Axial view; Brain
FLAIR MR.
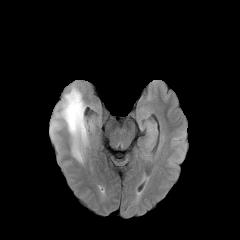
T1-weighted MRI.
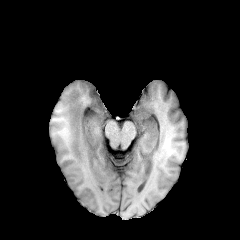
Post-contrast T1-weighted magnetic resonance.
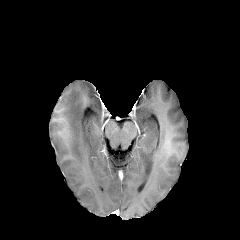
T2-weighted MR.
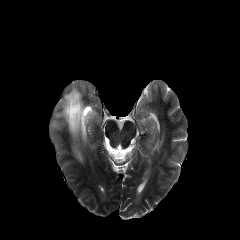
Annotated regions:
* peritumoral edema: region(61, 86, 88, 162)